FLAIR MR image.
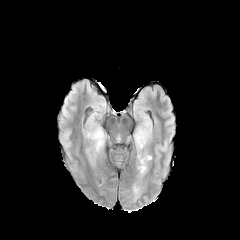
T1-weighted MR.
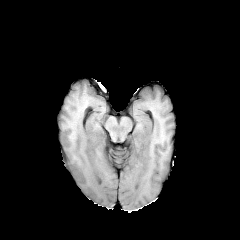
Post-contrast T1-weighted MRI.
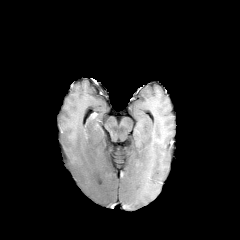
T2-weighted MR image.
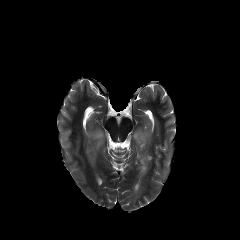
Axial slice
3 peritumoral edema regions appear at left=137, top=153, right=151, bottom=175; left=86, top=128, right=104, bottom=151; left=134, top=128, right=150, bottom=150.